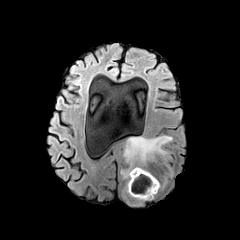
FLAIR MR image.
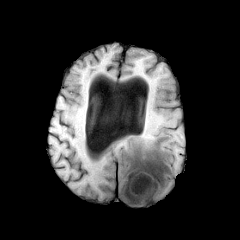
T1-weighted MR.
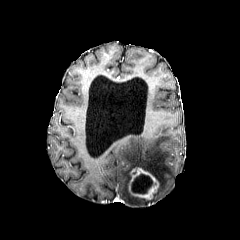
Post-contrast T1-weighted MR image of the same slice.
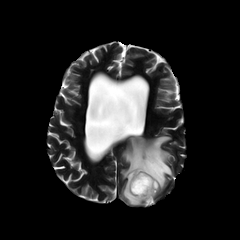
T2-weighted magnetic resonance of the same slice.
Axial plane.
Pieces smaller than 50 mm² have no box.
<segmentation>
  <peritumoral_edema>{"x1": 120, "y1": 135, "x2": 173, "y2": 205}</peritumoral_edema>
  <enhancing_tumor>{"x1": 129, "y1": 167, "x2": 159, "y2": 199}</enhancing_tumor>
  <necrotic_tumor_core>{"x1": 131, "y1": 174, "x2": 152, "y2": 193}</necrotic_tumor_core>
</segmentation>